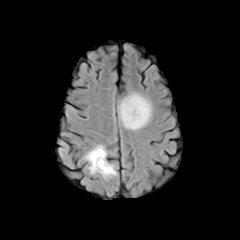
FLAIR MR image.
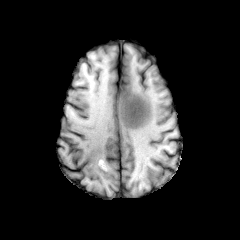
Same slice, T1-weighted MRI.
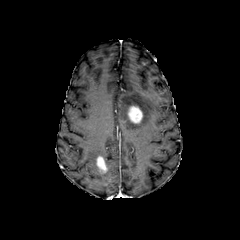
Post-contrast T1-weighted MRI.
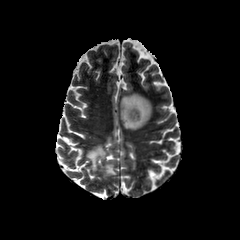
T2-weighted magnetic resonance of the same slice.
240x240, Head
2 peritumoral edema regions are bounded by box(85, 145, 116, 178); box(119, 93, 151, 129). 2 enhancing tumor regions are bounded by box(127, 105, 142, 123); box(96, 156, 107, 173).